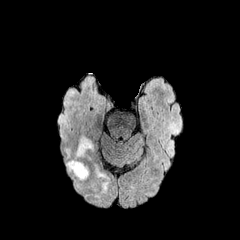
FLAIR MR image.
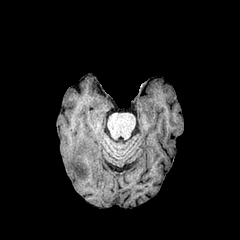
T1-weighted MR.
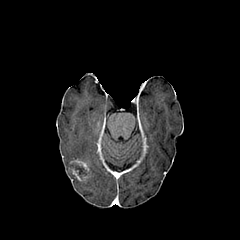
Post-contrast T1-weighted MR image of the same slice.
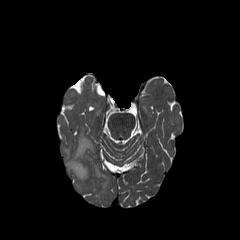
T2-weighted MRI of the same slice.
Brain
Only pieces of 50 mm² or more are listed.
The necrotic tumor core appears at 71:164:85:177. The enhancing tumor is bounded by 69:159:88:180. The 3 largest peritumoral edema regions are bounded by 101:181:107:192, 95:164:107:178, 66:137:93:188.